Image width 240 mm, Axial view
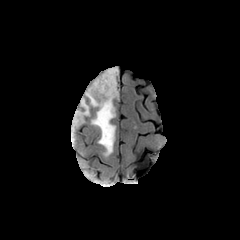
FLAIR MR image.
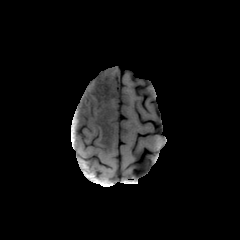
Same slice, T1-weighted MR.
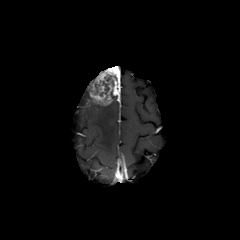
Same slice, post-contrast T1-weighted magnetic resonance.
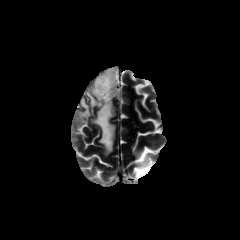
T2-weighted magnetic resonance of the same slice.
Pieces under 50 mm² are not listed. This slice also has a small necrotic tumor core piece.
enhancing_tumor:
  - (left=88, top=66, right=120, bottom=105)
peritumoral_edema:
  - (left=72, top=87, right=116, bottom=156)